FLAIR magnetic resonance.
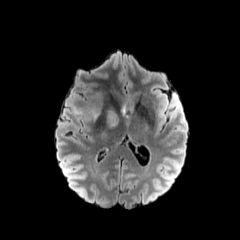
T1-weighted magnetic resonance.
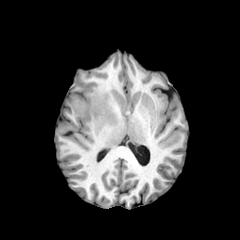
Post-contrast T1-weighted magnetic resonance.
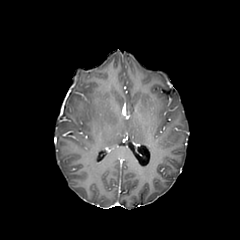
T2-weighted MR.
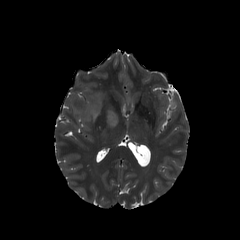
Head | Axial slice
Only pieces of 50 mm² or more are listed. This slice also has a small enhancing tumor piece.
2 peritumoral edema regions are located at region(107, 110, 118, 128); region(92, 94, 102, 120).